Slice index 103 | Axial plane | Image width 240 mm, 1.00 mm slice spacing
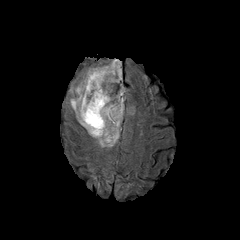
FLAIR MR image.
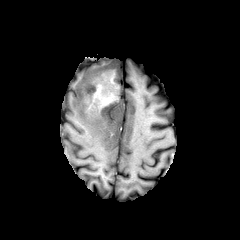
T1-weighted magnetic resonance.
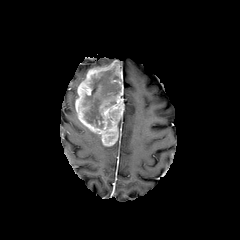
Post-contrast T1-weighted magnetic resonance of the same slice.
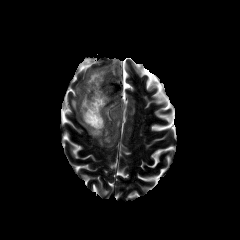
T2-weighted MR image of the same slice.
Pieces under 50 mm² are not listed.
The largest enhancing tumor region is at [x1=76, y1=60, x2=124, y2=146]. The largest necrotic tumor core region lies within [x1=84, y1=69, x2=120, y2=128]. The largest peritumoral edema region is located at [x1=70, y1=94, x2=105, y2=147].